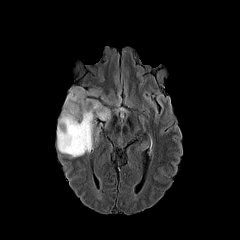
FLAIR MR image.
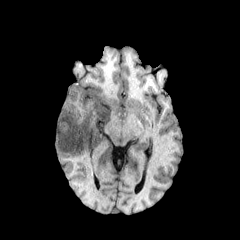
T1-weighted MR.
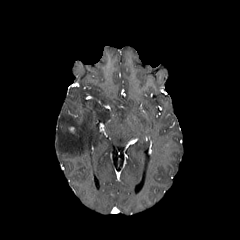
Same slice, post-contrast T1-weighted MRI.
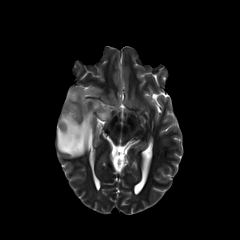
T2-weighted magnetic resonance.
240x240, Axial plane
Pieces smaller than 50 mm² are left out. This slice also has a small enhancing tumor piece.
The largest peritumoral edema region lies within [x1=57, y1=88, x2=110, y2=157].